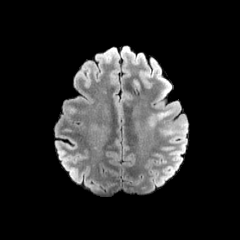
FLAIR magnetic resonance.
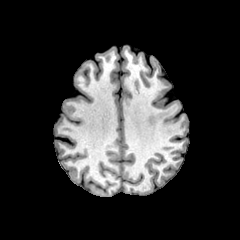
T1-weighted MRI.
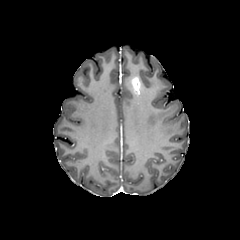
Post-contrast T1-weighted MR image.
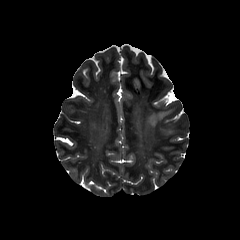
T2-weighted MR image.
Axial plane; 240x240 px
{
  "enhancing_tumor": [
    "<box>132,77,140,93</box>"
  ],
  "peritumoral_edema": [
    "<box>150,109,174,127</box>"
  ]
}